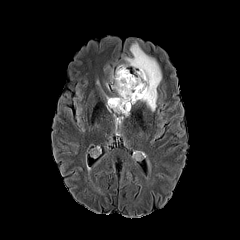
FLAIR MRI.
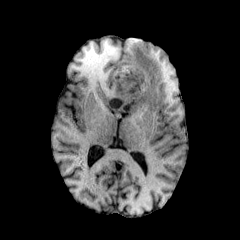
T1-weighted MR of the same slice.
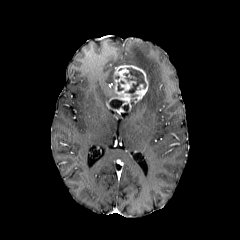
Same slice, post-contrast T1-weighted magnetic resonance.
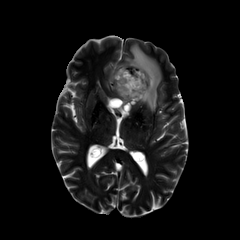
Same slice, T2-weighted MR image.
Axial slice | Head
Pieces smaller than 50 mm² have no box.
The 2 largest necrotic tumor core regions are bounded by 124 68 145 93, 109 99 123 108. The 2 largest enhancing tumor regions are bounded by 112 106 124 113, 107 65 148 111. The largest peritumoral edema region lies within 123 42 161 111.